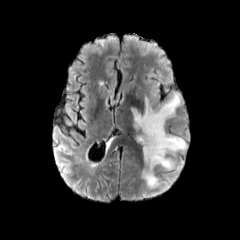
FLAIR magnetic resonance.
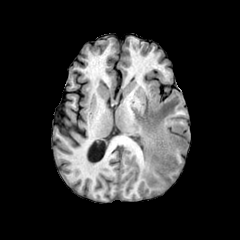
T1-weighted MRI.
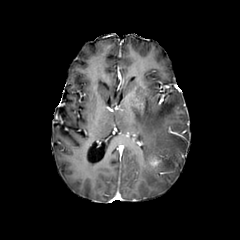
Post-contrast T1-weighted MR image of the same slice.
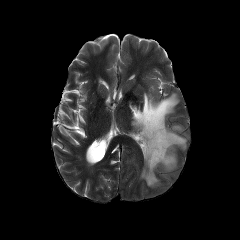
Same slice, T2-weighted MR image.
Head
enhancing tumor: bounding box [148,155,162,168]
peritumoral edema: bounding box [131,94,186,188]